Axial view, Slice index 77
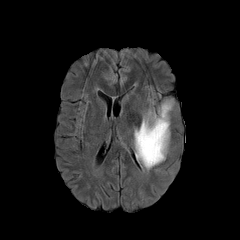
FLAIR MR.
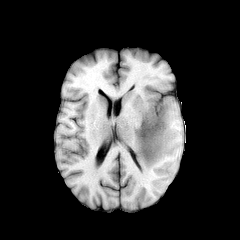
T1-weighted MRI.
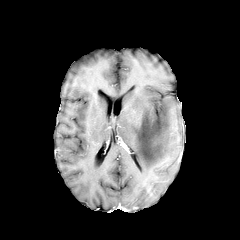
Same slice, post-contrast T1-weighted MR image.
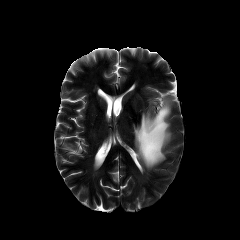
T2-weighted MR image.
peritumoral edema: x1=134 y1=99 x2=173 y2=169